Slice 134/155; 240x240 px
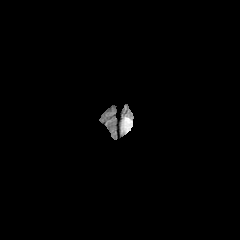
FLAIR MR.
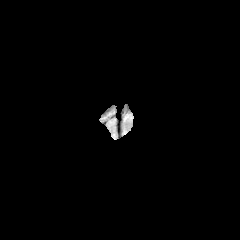
T1-weighted MR image.
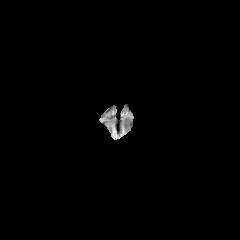
Same slice, post-contrast T1-weighted MRI.
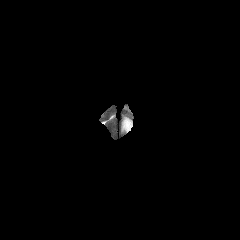
T2-weighted magnetic resonance.
peritumoral edema: [122,117,132,132]